Image width 240 mm, 1.00 mm slice spacing. Axial slice.
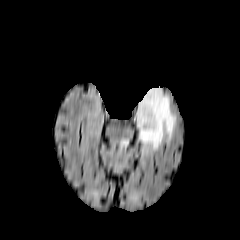
FLAIR magnetic resonance.
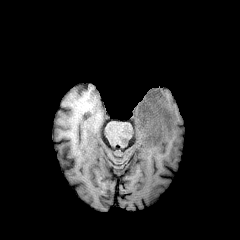
Same slice, T1-weighted MR.
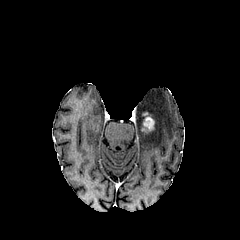
Post-contrast T1-weighted magnetic resonance.
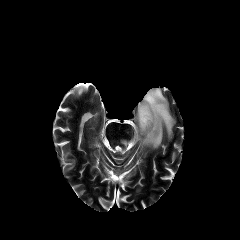
T2-weighted MRI.
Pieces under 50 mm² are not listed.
peritumoral edema: bbox=[136, 88, 176, 149] | enhancing tumor: bbox=[141, 112, 154, 132]